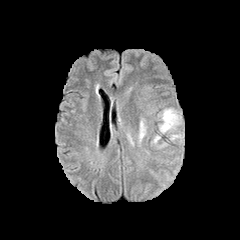
FLAIR MRI.
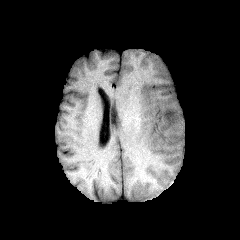
Same slice, T1-weighted magnetic resonance.
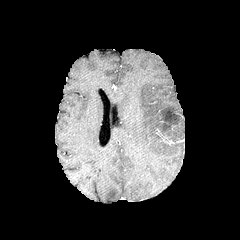
Same slice, post-contrast T1-weighted MR.
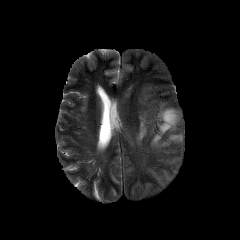
T2-weighted MRI.
Brain; Axial plane
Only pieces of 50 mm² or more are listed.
peritumoral_edema:
  - 159,108,180,133
  - 152,135,160,144
  - 138,120,145,142